Head | Axial view
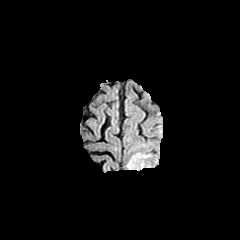
FLAIR MRI.
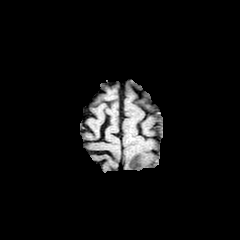
T1-weighted MR of the same slice.
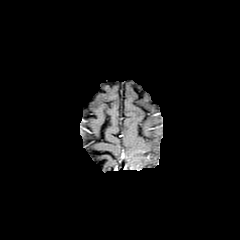
Post-contrast T1-weighted MR of the same slice.
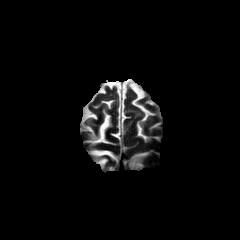
Same slice, T2-weighted MRI.
enhancing tumor: l=129, t=155, r=142, b=170 | peritumoral edema: l=127, t=152, r=150, b=169